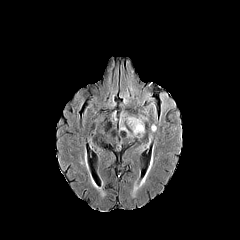
FLAIR MRI.
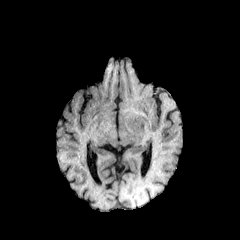
T1-weighted MR.
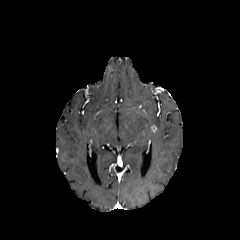
Same slice, post-contrast T1-weighted MR.
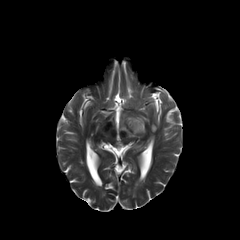
T2-weighted MRI of the same slice.
Axial slice. Head.
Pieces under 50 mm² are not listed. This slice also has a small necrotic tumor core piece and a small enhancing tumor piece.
peritumoral edema: (x1=127, y1=114, x2=144, y2=137)